Image covers 240 mm x 240 mm | Slice index 116
FLAIR MR.
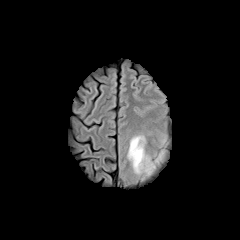
T1-weighted MR.
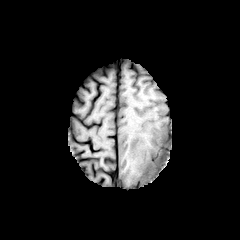
Post-contrast T1-weighted magnetic resonance.
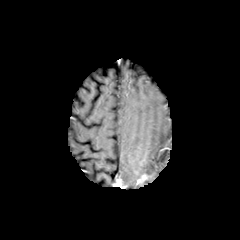
T2-weighted MR.
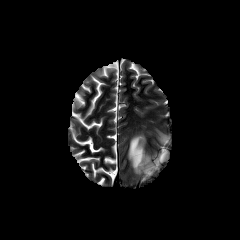
The enhancing tumor appears at (138, 174, 148, 182). 2 peritumoral edema regions are located at (159, 133, 166, 144), (127, 134, 166, 176).